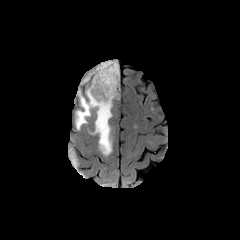
FLAIR MR image.
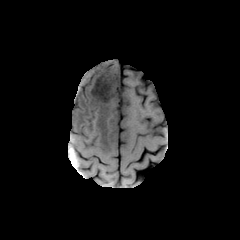
T1-weighted MRI.
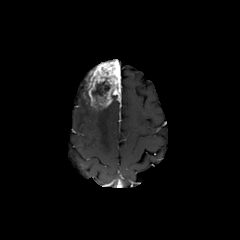
Post-contrast T1-weighted MRI.
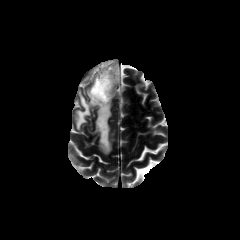
T2-weighted MR.
Image size 240x240.
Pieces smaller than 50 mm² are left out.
The largest peritumoral edema region is located at (left=74, top=72, right=113, bottom=156). The necrotic tumor core is bounded by (left=92, top=82, right=109, bottom=95). The largest enhancing tumor region is located at (left=85, top=59, right=121, bottom=109).